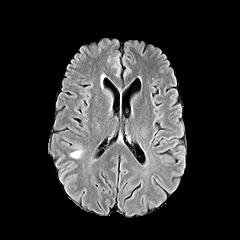
FLAIR magnetic resonance.
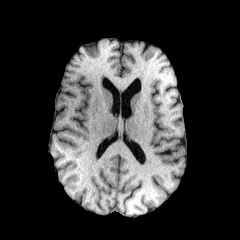
Same slice, T1-weighted MRI.
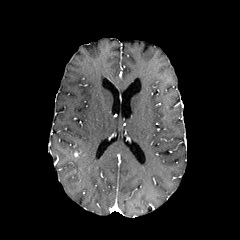
Same slice, post-contrast T1-weighted MR image.
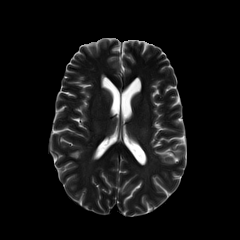
T2-weighted MR image.
Head | Image size 240x240 | Axial view
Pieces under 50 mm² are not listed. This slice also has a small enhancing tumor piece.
Annotated regions:
* peritumoral edema: 70:148:82:158